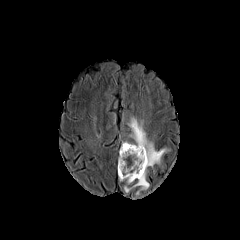
FLAIR MR.
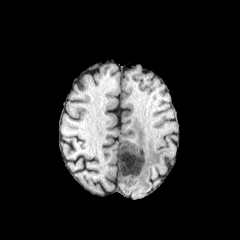
T1-weighted magnetic resonance.
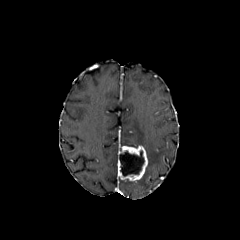
Post-contrast T1-weighted magnetic resonance.
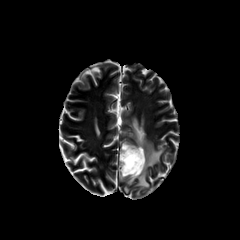
T2-weighted MR image of the same slice.
Brain | 240x240
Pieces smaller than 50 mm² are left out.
necrotic tumor core: bounding box rect(119, 151, 144, 176)
peritumoral edema: bounding box rect(121, 116, 166, 196)
enhancing tumor: bounding box rect(118, 145, 147, 181)